Image width 240 mm | Head | Axial plane
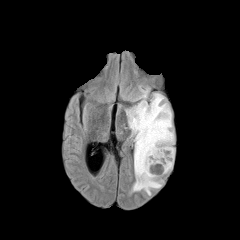
FLAIR MR.
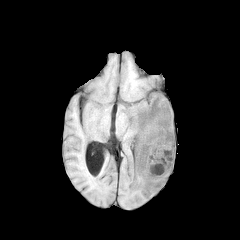
T1-weighted MRI.
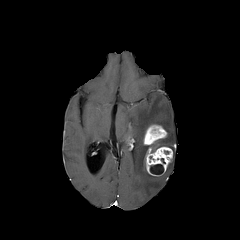
Post-contrast T1-weighted MR image.
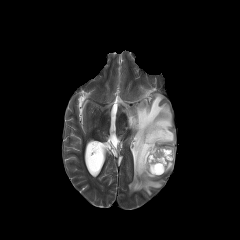
T2-weighted magnetic resonance of the same slice.
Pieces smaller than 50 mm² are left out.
<segmentation>
  <enhancing_tumor>[144,146,173,176], [143,124,167,145]</enhancing_tumor>
  <peritumoral_edema>[126,89,174,195]</peritumoral_edema>
  <necrotic_tumor_core>[150,164,163,174]</necrotic_tumor_core>
</segmentation>